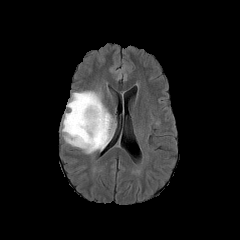
FLAIR MR.
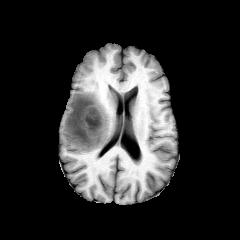
T1-weighted MR image of the same slice.
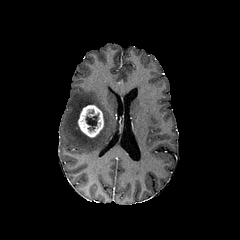
Same slice, post-contrast T1-weighted MR image.
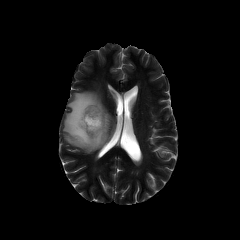
T2-weighted MR image.
240x240 | Head
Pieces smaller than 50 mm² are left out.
necrotic tumor core: region(86, 114, 98, 130) | peritumoral edema: region(62, 91, 114, 153) | enhancing tumor: region(78, 105, 103, 137)